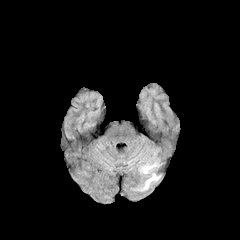
FLAIR magnetic resonance.
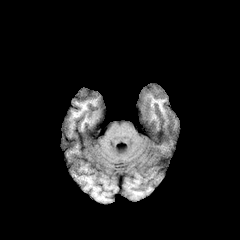
T1-weighted MR image.
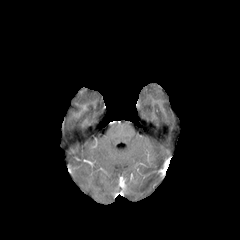
Post-contrast T1-weighted MR of the same slice.
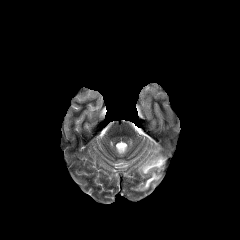
T2-weighted MR.
240x240, Brain
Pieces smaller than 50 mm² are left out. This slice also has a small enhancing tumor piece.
The peritumoral edema is at x1=132 y1=149 x2=161 y2=191.